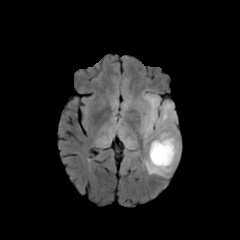
FLAIR MR image.
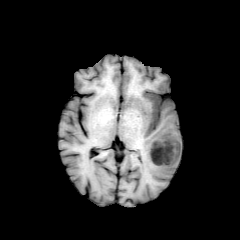
Same slice, T1-weighted MRI.
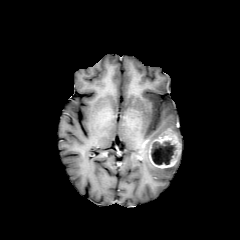
Same slice, post-contrast T1-weighted magnetic resonance.
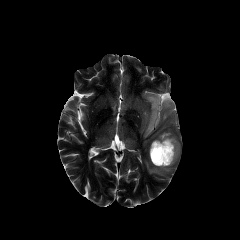
T2-weighted MR.
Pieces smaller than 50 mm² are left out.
enhancing tumor: (149,129,180,168)
peritumoral edema: (138,92,179,177)
necrotic tumor core: (151,141,176,164)